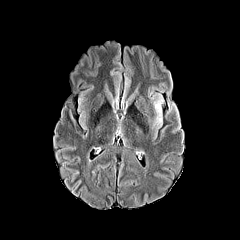
FLAIR magnetic resonance.
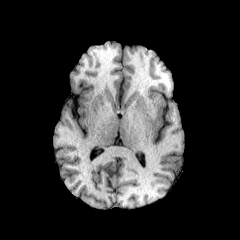
T1-weighted MR image.
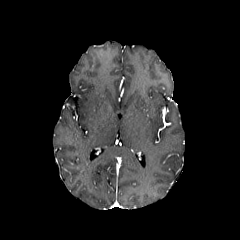
Post-contrast T1-weighted MRI.
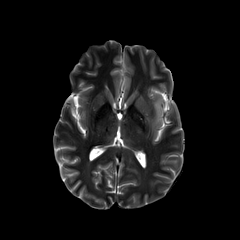
T2-weighted magnetic resonance.
Head.
The peritumoral edema is at [153, 96, 162, 125].